Axial view. Brain.
FLAIR MR image.
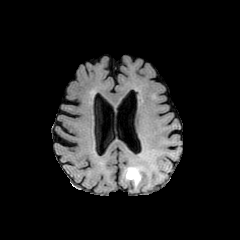
T1-weighted magnetic resonance.
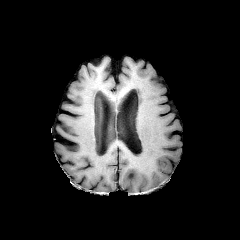
Post-contrast T1-weighted MR.
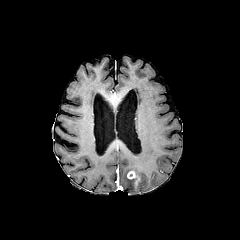
T2-weighted MR.
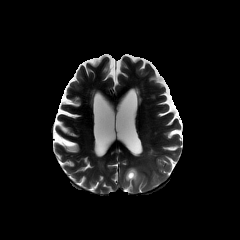
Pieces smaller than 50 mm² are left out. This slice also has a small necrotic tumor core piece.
The enhancing tumor is located at x1=127 y1=171 x2=139 y2=184. The largest peritumoral edema region lies within x1=126 y1=164 x2=149 y2=189.